Slice 91/155.
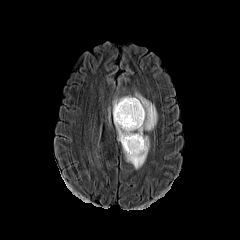
FLAIR MR.
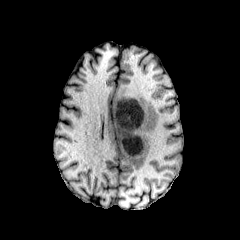
T1-weighted magnetic resonance.
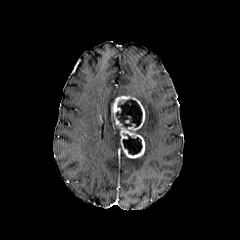
Post-contrast T1-weighted MR image of the same slice.
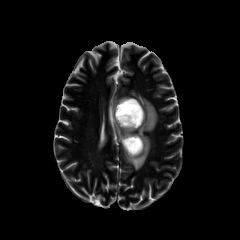
Same slice, T2-weighted MR.
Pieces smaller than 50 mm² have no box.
{"necrotic_tumor_core": ["bbox=[116, 99, 142, 127]", "bbox=[123, 134, 142, 154]"], "enhancing_tumor": ["bbox=[112, 96, 145, 158]"], "peritumoral_edema": ["bbox=[125, 92, 157, 169]"]}